FLAIR MR image.
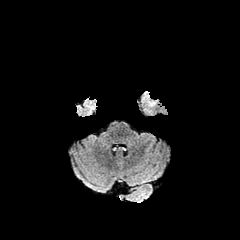
T1-weighted magnetic resonance.
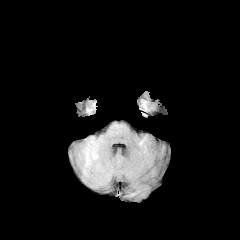
Post-contrast T1-weighted MRI.
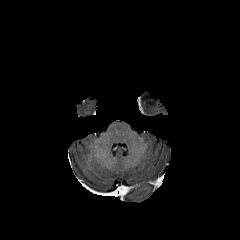
T2-weighted MRI.
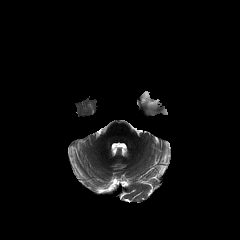
Axial slice, Brain
peritumoral_edema:
  - (left=142, top=91, right=158, bottom=113)